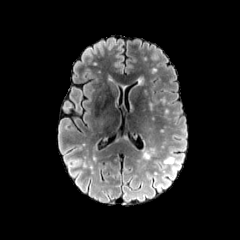
FLAIR magnetic resonance.
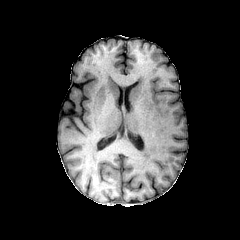
T1-weighted magnetic resonance.
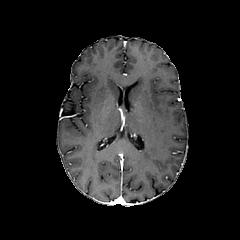
Post-contrast T1-weighted MR image.
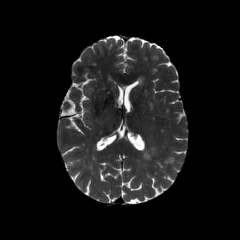
T2-weighted MR image.
Head; Image size 240x240
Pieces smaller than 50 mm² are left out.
The largest peritumoral edema region is bounded by [164, 157, 174, 163].